Slice 67 of 155. Axial view.
FLAIR MR.
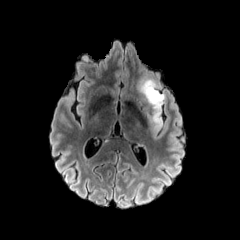
T1-weighted magnetic resonance.
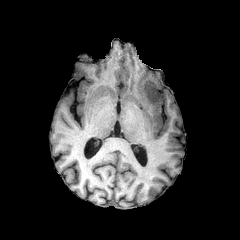
Post-contrast T1-weighted MRI.
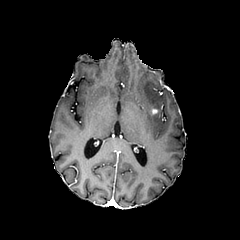
T2-weighted MRI.
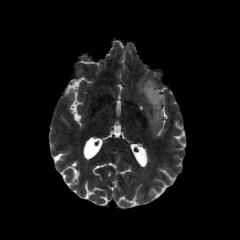
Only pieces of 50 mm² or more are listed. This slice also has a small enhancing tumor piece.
peritumoral edema: bounding box {"x1": 137, "y1": 77, "x2": 165, "y2": 132}